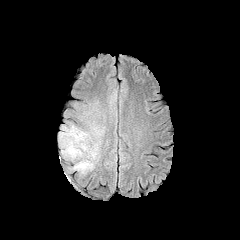
FLAIR MRI.
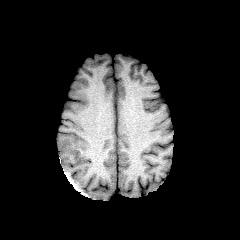
Same slice, T1-weighted MRI.
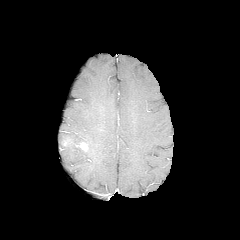
Post-contrast T1-weighted MR image.
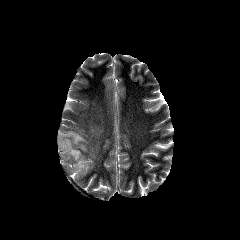
Same slice, T2-weighted magnetic resonance.
Axial view | Image size 240x240 | Brain
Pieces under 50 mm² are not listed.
{
  "peritumoral_edema": [
    "58 125 102 174"
  ],
  "enhancing_tumor": [
    "76 142 88 151",
    "62 139 71 146"
  ]
}